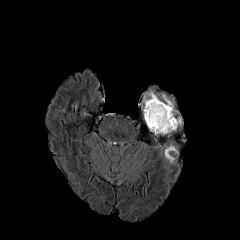
FLAIR MRI.
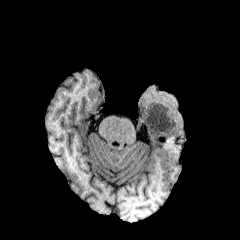
Same slice, T1-weighted magnetic resonance.
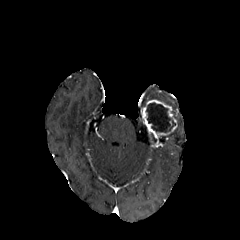
Same slice, post-contrast T1-weighted magnetic resonance.
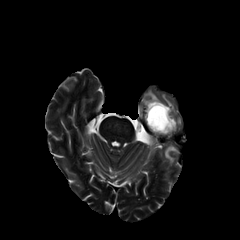
Same slice, T2-weighted magnetic resonance.
Image size 240x240.
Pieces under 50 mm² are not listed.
necrotic tumor core: bounding box bbox(146, 103, 175, 132)
enhancing tumor: bounding box bbox(142, 99, 177, 137)
peritumoral edema: bounding box bbox(162, 94, 174, 114); bbox(164, 145, 177, 163); bbox(143, 90, 159, 106)